Head | Image width 240 mm, 1.00 mm slice spacing
FLAIR MR.
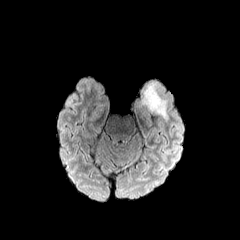
T1-weighted MR image.
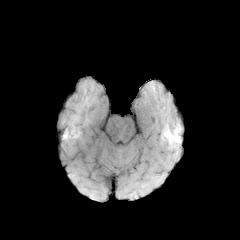
Post-contrast T1-weighted MR image.
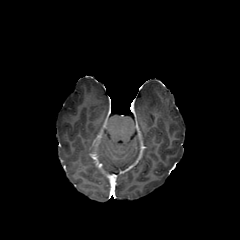
T2-weighted MR image.
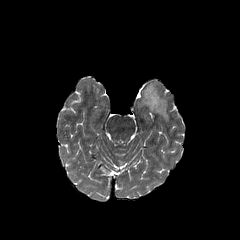
peritumoral edema at bbox=[142, 84, 167, 120]